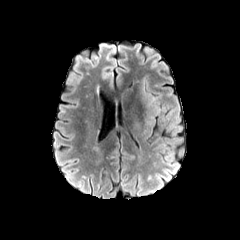
FLAIR MR image.
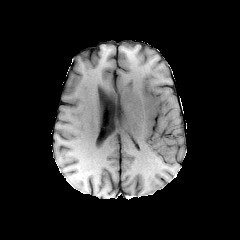
T1-weighted MR.
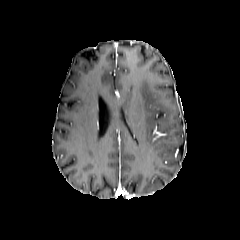
Post-contrast T1-weighted MR.
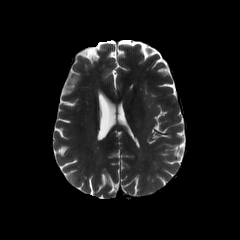
T2-weighted MR.
Axial slice
<segmentation>
  <peritumoral_edema>142,83,159,136</peritumoral_edema>
</segmentation>